Slice 81/155, 240x240 px, Axial view
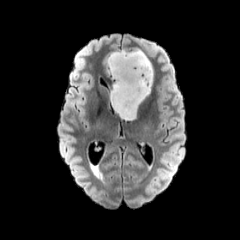
FLAIR MR image.
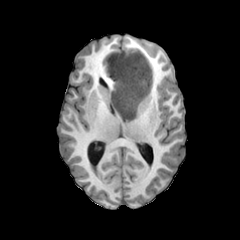
T1-weighted MRI.
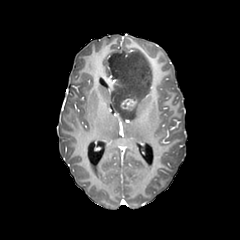
Post-contrast T1-weighted MR image.
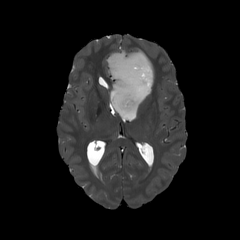
T2-weighted MR.
<segmentation>
  <peritumoral_edema>[x1=106, y1=49, x2=152, y2=120]</peritumoral_edema>
  <enhancing_tumor>[x1=121, y1=99, x2=136, y2=109]</enhancing_tumor>
</segmentation>